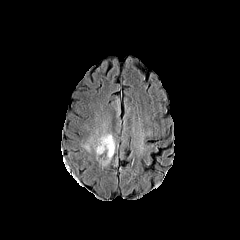
FLAIR magnetic resonance.
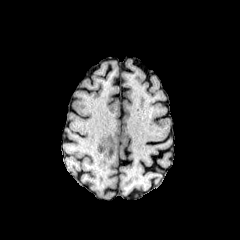
Same slice, T1-weighted MRI.
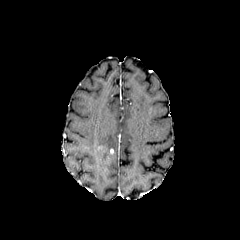
Post-contrast T1-weighted MR.
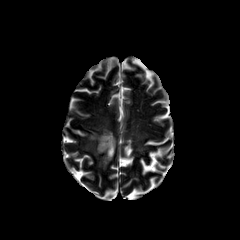
T2-weighted MR image.
Axial view, Brain
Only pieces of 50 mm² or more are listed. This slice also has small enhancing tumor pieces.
peritumoral edema: box=[96, 131, 115, 162]